FLAIR MR.
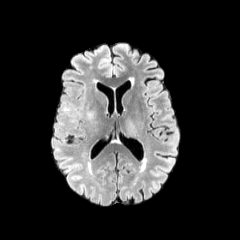
T1-weighted magnetic resonance.
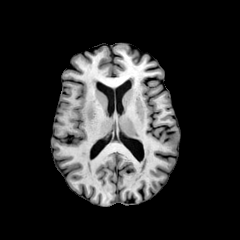
Post-contrast T1-weighted MRI.
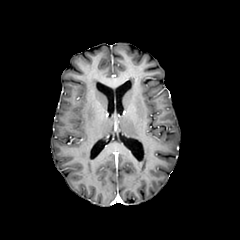
T2-weighted MRI.
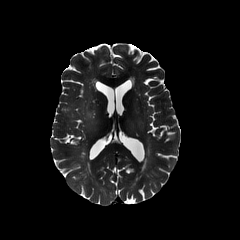
Axial plane | Image size 240x240
The peritumoral edema is bounded by bbox(87, 107, 97, 120).